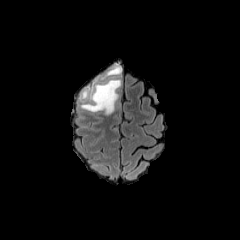
FLAIR MR.
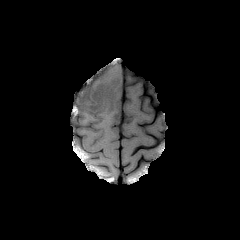
T1-weighted MR image.
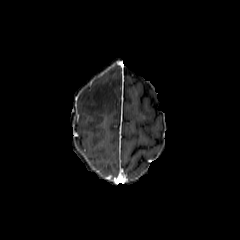
Post-contrast T1-weighted MR of the same slice.
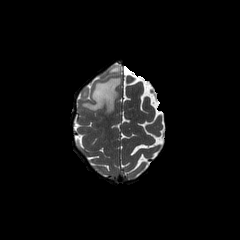
T2-weighted MR.
Axial view. Head.
2 peritumoral edema regions are bounded by x1=81 y1=78 x2=121 y2=114, x1=101 y1=65 x2=121 y2=79.